FLAIR MR.
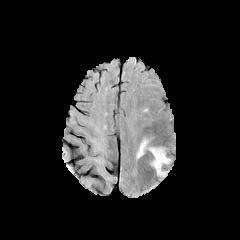
T1-weighted MR image.
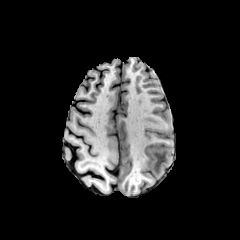
Post-contrast T1-weighted MRI.
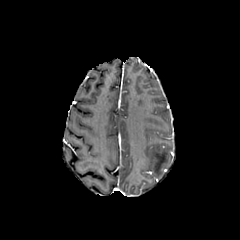
T2-weighted magnetic resonance.
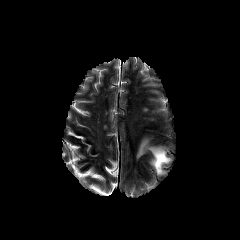
Axial plane | Image size 240x240
<segmentation>
  <peritumoral_edema>(left=136, top=138, right=170, bottom=175)</peritumoral_edema>
</segmentation>